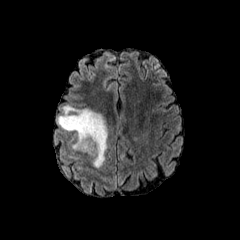
FLAIR MRI.
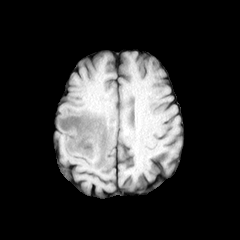
T1-weighted magnetic resonance of the same slice.
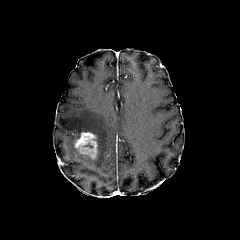
Post-contrast T1-weighted magnetic resonance.
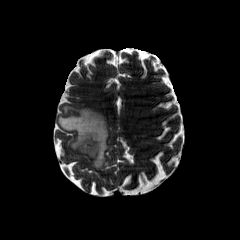
T2-weighted MR image.
Brain
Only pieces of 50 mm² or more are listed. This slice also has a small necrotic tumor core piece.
Annotated regions:
* enhancing tumor: rect(74, 132, 97, 158)
* peritumoral edema: rect(57, 105, 108, 168)